Slice index 40.
FLAIR magnetic resonance.
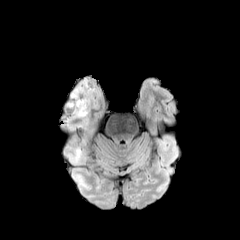
T1-weighted MR.
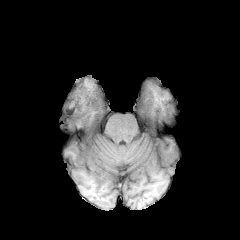
Post-contrast T1-weighted magnetic resonance.
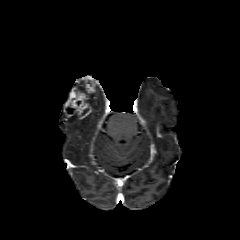
T2-weighted magnetic resonance.
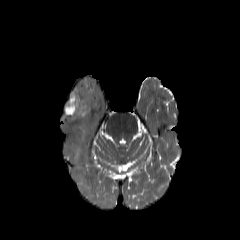
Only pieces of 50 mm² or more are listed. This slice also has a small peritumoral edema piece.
Segmented structures:
- enhancing tumor: (64, 79, 94, 118)
- necrotic tumor core: (66, 106, 75, 114)